Axial plane | Brain
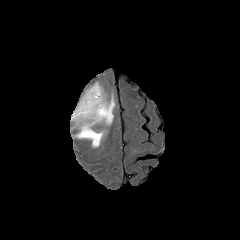
FLAIR MR.
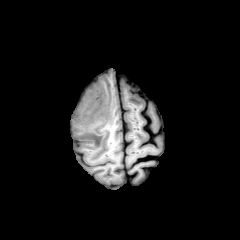
T1-weighted MR image.
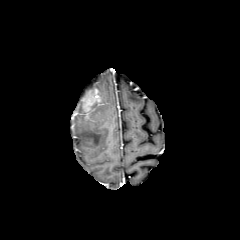
Same slice, post-contrast T1-weighted MR.
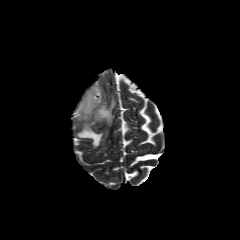
T2-weighted magnetic resonance of the same slice.
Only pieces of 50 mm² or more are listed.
enhancing tumor: bounding box [82,88,102,119]
peritumoral edema: bounding box [74,84,114,147]